Axial slice | Brain
FLAIR MR image.
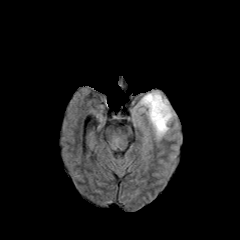
T1-weighted MRI.
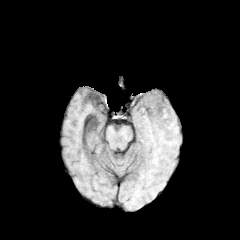
Post-contrast T1-weighted MR image.
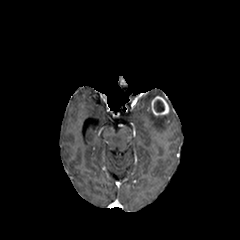
T2-weighted MRI.
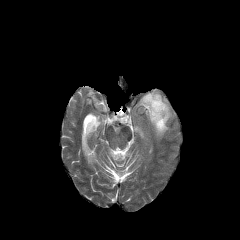
The peritumoral edema is at rect(141, 92, 172, 136). The enhancing tumor is bounded by rect(151, 96, 169, 115). The necrotic tumor core is bounded by rect(154, 100, 164, 112).